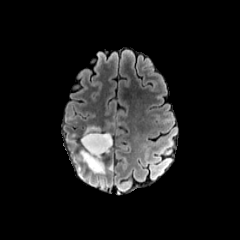
FLAIR MRI.
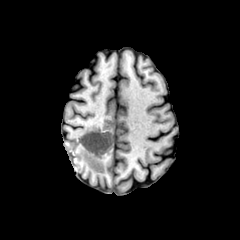
T1-weighted MRI.
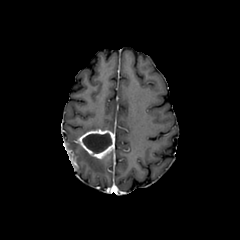
Post-contrast T1-weighted magnetic resonance.
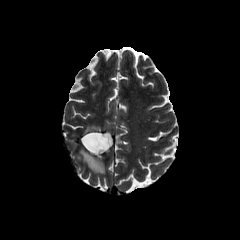
T2-weighted MRI.
Brain. Axial slice. 240x240.
necrotic_tumor_core:
  - [83,133,112,153]
enhancing_tumor:
  - [79,129,113,158]
peritumoral_edema:
  - [80,148,105,173]
  - [84,126,100,133]